FLAIR MR image.
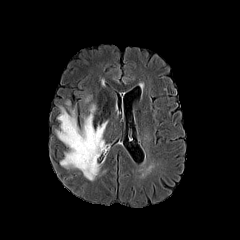
T1-weighted MRI.
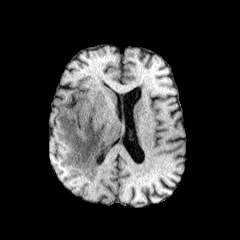
Post-contrast T1-weighted MR image.
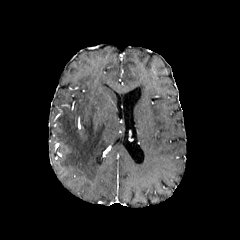
T2-weighted MR image.
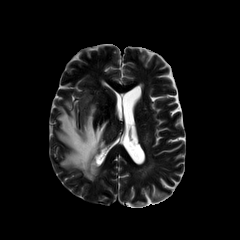
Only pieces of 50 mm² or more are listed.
The largest peritumoral edema region appears at box=[56, 104, 107, 180].